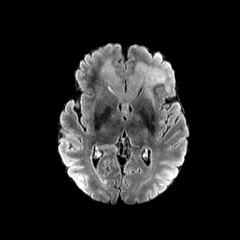
FLAIR MR image.
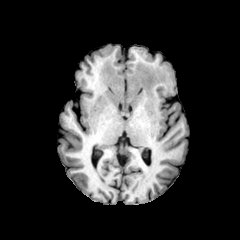
Same slice, T1-weighted MR image.
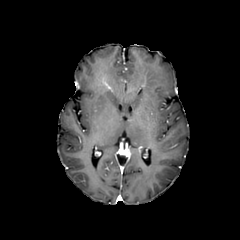
Post-contrast T1-weighted MR of the same slice.
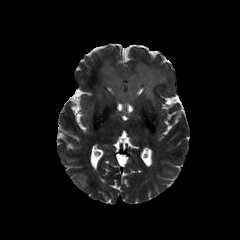
T2-weighted magnetic resonance.
Axial plane, Head, 240x240 px
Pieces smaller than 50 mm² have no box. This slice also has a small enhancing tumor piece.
peritumoral edema: x1=102, y1=61, x2=171, y2=101